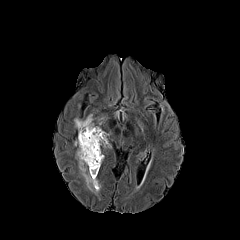
FLAIR MR image.
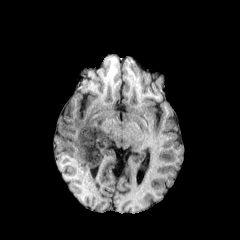
T1-weighted MR image of the same slice.
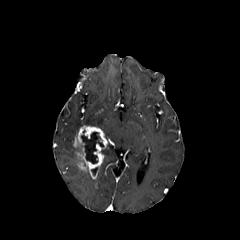
Same slice, post-contrast T1-weighted MRI.
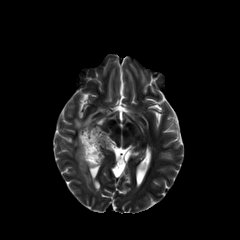
T2-weighted MR image of the same slice.
Axial view, Brain, 240x240 px
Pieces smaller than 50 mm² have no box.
Findings:
* enhancing tumor: rect(73, 125, 108, 178)
* peritumoral edema: rect(74, 114, 93, 131); rect(80, 170, 100, 193)
* necrotic tumor core: rect(81, 132, 103, 163)